240x240. Slice 105 of 155. Brain.
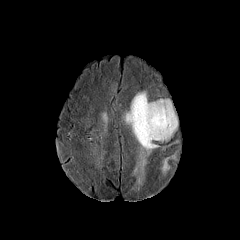
FLAIR MRI.
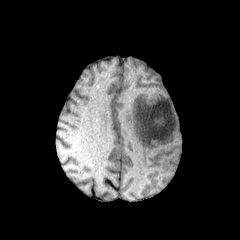
Same slice, T1-weighted MR image.
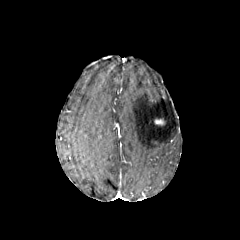
Post-contrast T1-weighted magnetic resonance.
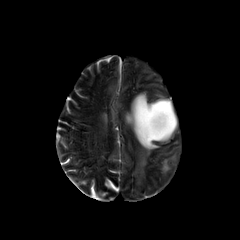
T2-weighted MRI.
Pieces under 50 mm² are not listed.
The enhancing tumor appears at box=[154, 119, 165, 125]. The 2 largest peritumoral edema regions are located at box=[124, 91, 178, 190]; box=[161, 152, 177, 173].